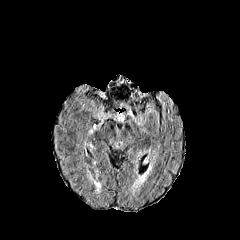
FLAIR MRI.
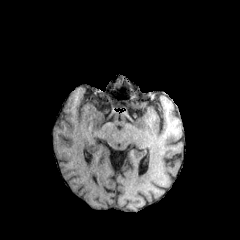
T1-weighted MRI of the same slice.
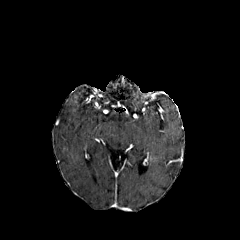
Post-contrast T1-weighted MRI.
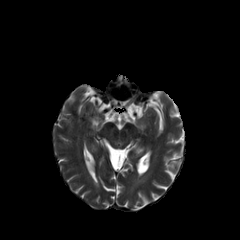
T2-weighted MRI.
Axial slice, Brain
The peritumoral edema appears at 90:120:103:133.